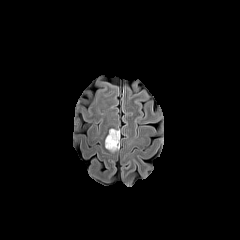
FLAIR MRI.
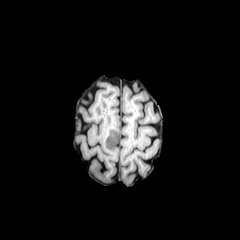
T1-weighted MR.
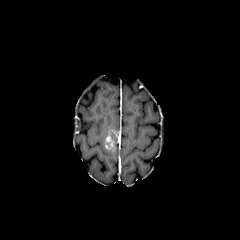
Post-contrast T1-weighted MR image.
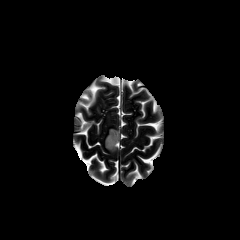
T2-weighted magnetic resonance.
Axial plane, Brain
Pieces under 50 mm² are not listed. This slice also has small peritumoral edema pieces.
{"enhancing_tumor": ["(105,135,115,149)"], "necrotic_tumor_core": ["(109,130,118,146)"]}